240x240 px | Head
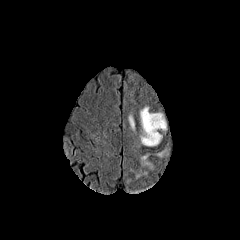
FLAIR MR image.
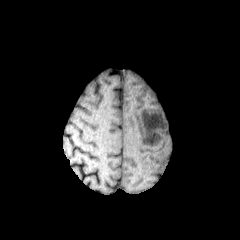
T1-weighted MRI of the same slice.
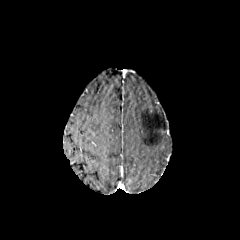
Same slice, post-contrast T1-weighted MRI.
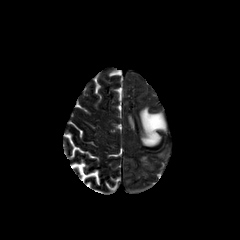
T2-weighted MR.
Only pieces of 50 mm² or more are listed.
<segmentation>
  <peritumoral_edema>130, 153, 152, 178; 129, 116, 134, 129; 140, 107, 166, 146</peritumoral_edema>
</segmentation>